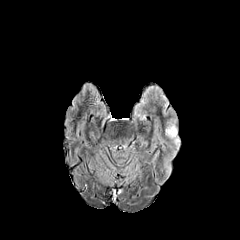
FLAIR MR image.
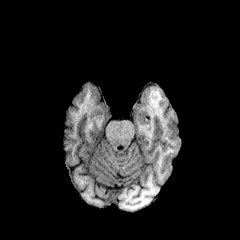
T1-weighted MR.
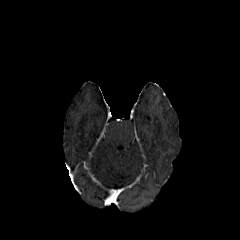
Post-contrast T1-weighted MR image.
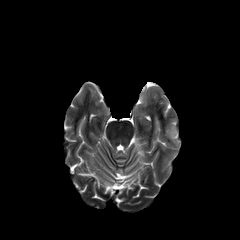
T2-weighted magnetic resonance.
Axial view
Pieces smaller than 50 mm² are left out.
peritumoral edema: bounding box box=[165, 124, 179, 143]